Axial slice; Slice 64 of 155; Head; 240x240 px
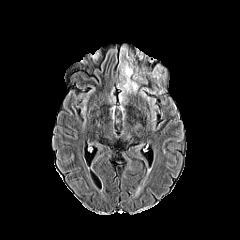
FLAIR MR image.
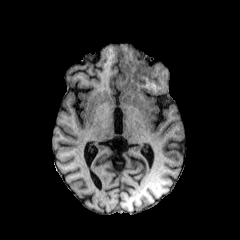
T1-weighted MR image.
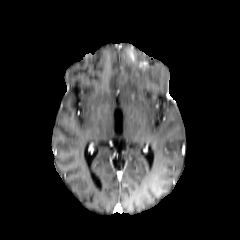
Same slice, post-contrast T1-weighted magnetic resonance.
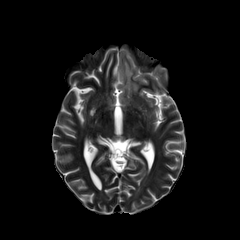
Same slice, T2-weighted MR image.
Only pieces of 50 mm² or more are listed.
<segmentation>
  <peritumoral_edema>{"x1": 121, "y1": 47, "x2": 138, "y2": 92}, {"x1": 152, "y1": 65, "x2": 161, "y2": 78}</peritumoral_edema>
  <enhancing_tumor>{"x1": 127, "y1": 47, "x2": 135, "y2": 61}</enhancing_tumor>
</segmentation>